FLAIR MR image.
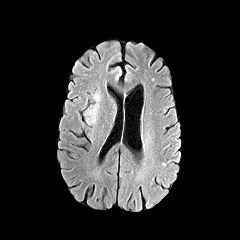
T1-weighted MRI.
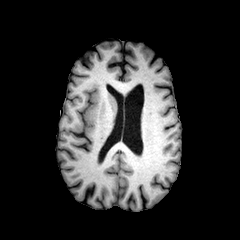
Post-contrast T1-weighted MR.
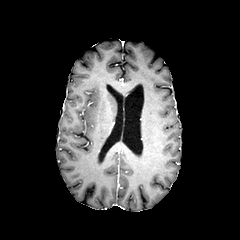
T2-weighted MR image.
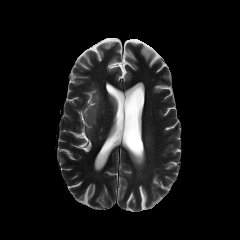
peritumoral edema at 85:93:100:123